Image width 240 mm; Slice 86 of 155; Head
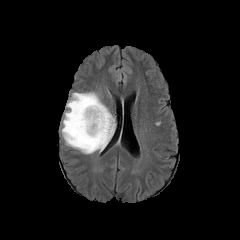
FLAIR MR.
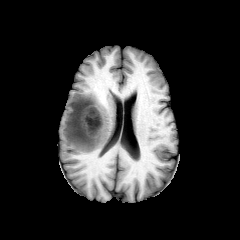
T1-weighted MR image of the same slice.
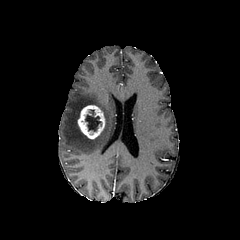
Post-contrast T1-weighted MR of the same slice.
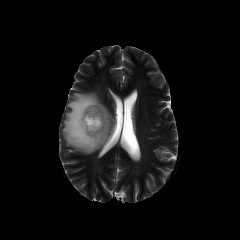
Same slice, T2-weighted magnetic resonance.
The peritumoral edema is at <bbox>62, 92, 114, 154</bbox>. The enhancing tumor is located at <bbox>77, 105, 105, 139</bbox>. The necrotic tumor core is located at <bbox>85, 110, 101, 131</bbox>.